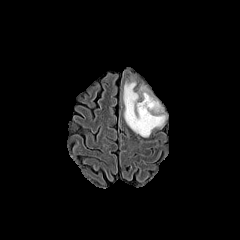
FLAIR magnetic resonance.
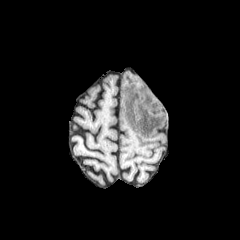
Same slice, T1-weighted MRI.
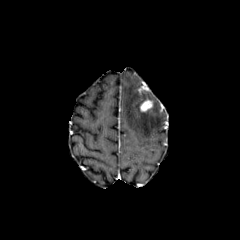
Post-contrast T1-weighted MR of the same slice.
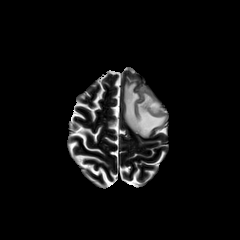
T2-weighted MR of the same slice.
Head
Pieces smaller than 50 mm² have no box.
The largest enhancing tumor region is at (left=140, top=99, right=152, bottom=111). The peritumoral edema is at (left=123, top=81, right=165, bottom=137).